Slice 88 of 155; 240x240
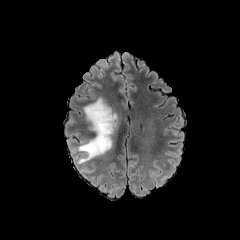
FLAIR magnetic resonance.
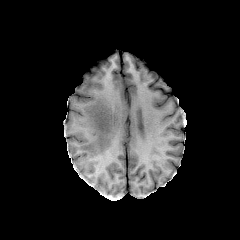
T1-weighted magnetic resonance.
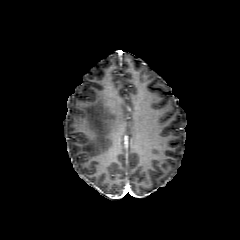
Post-contrast T1-weighted MR.
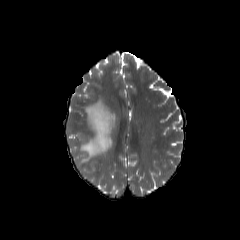
Same slice, T2-weighted magnetic resonance.
The peritumoral edema is at (left=73, top=97, right=116, bottom=163).